Axial view | 240x240 px | Head
FLAIR MR image.
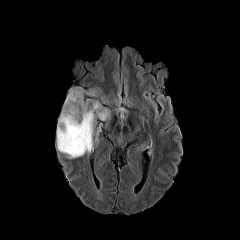
T1-weighted magnetic resonance.
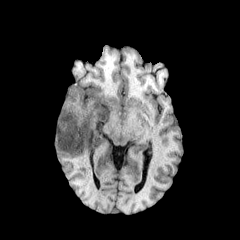
Post-contrast T1-weighted MRI.
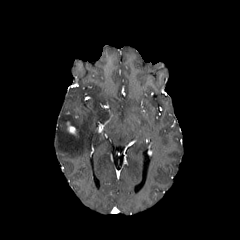
T2-weighted MRI.
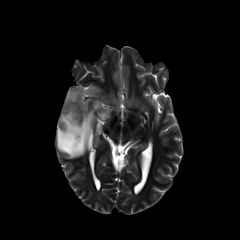
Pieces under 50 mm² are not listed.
<segmentation>
  <enhancing_tumor>x1=67, y1=122, x2=76, y2=134</enhancing_tumor>
  <peritumoral_edema>x1=56, y1=88, x2=109, y2=158</peritumoral_edema>
</segmentation>